Image size 240x240, Axial slice
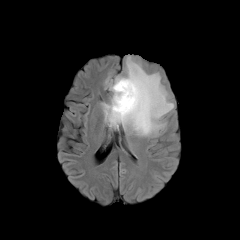
FLAIR MRI.
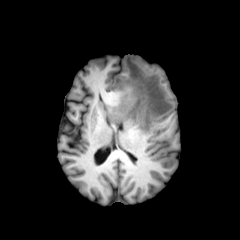
T1-weighted MR image.
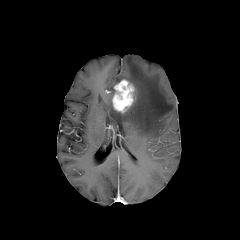
Post-contrast T1-weighted magnetic resonance of the same slice.
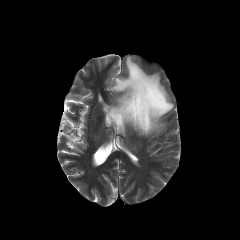
T2-weighted MRI.
{"peritumoral_edema": ["103, 56, 173, 136"], "enhancing_tumor": ["112, 79, 134, 112"]}